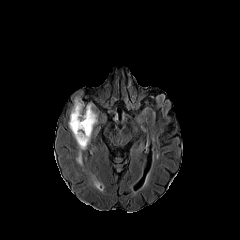
FLAIR magnetic resonance.
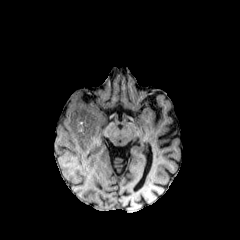
T1-weighted MRI.
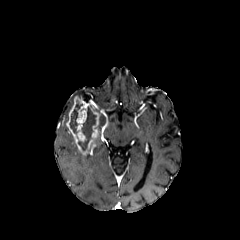
Post-contrast T1-weighted magnetic resonance.
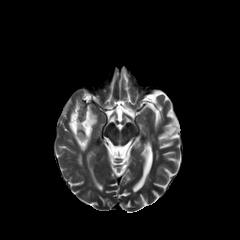
T2-weighted magnetic resonance of the same slice.
Axial plane
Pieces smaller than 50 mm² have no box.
Annotated regions:
• enhancing tumor: l=66, t=95, r=99, b=154
• necrotic tumor core: l=78, t=106, r=96, b=150; l=70, t=101, r=82, b=133
• peritumoral edema: l=77, t=152, r=82, b=165